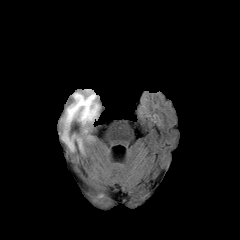
FLAIR magnetic resonance.
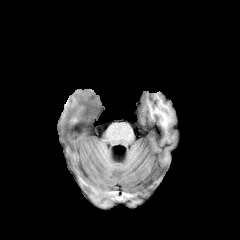
Same slice, T1-weighted magnetic resonance.
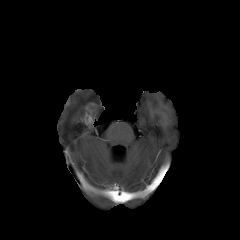
Post-contrast T1-weighted MR image of the same slice.
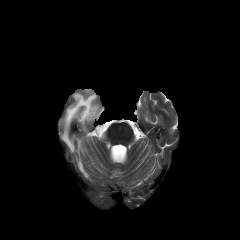
Same slice, T2-weighted MR image.
Image size 240x240
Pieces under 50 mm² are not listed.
peritumoral edema: (62,89,99,151), (77,138,83,152) | enhancing tumor: (80,102,97,128)